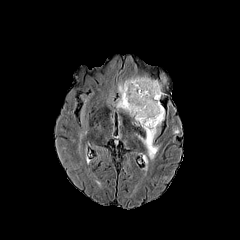
FLAIR MRI.
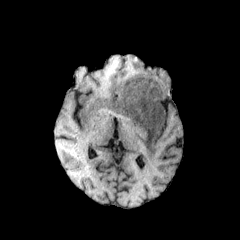
T1-weighted magnetic resonance of the same slice.
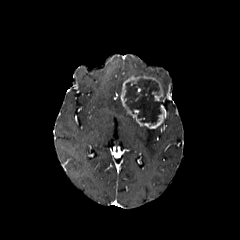
Post-contrast T1-weighted magnetic resonance of the same slice.
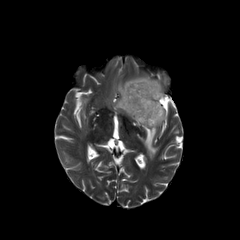
T2-weighted MR image.
Image size 240x240
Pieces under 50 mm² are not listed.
necrotic tumor core: [124, 78, 161, 123]
enhancing tumor: [120, 75, 167, 128]
peritumoral edema: [116, 98, 125, 111], [138, 127, 158, 159]